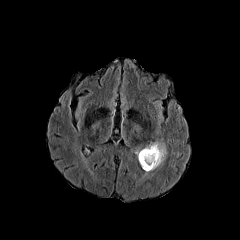
FLAIR MR.
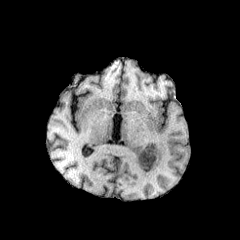
T1-weighted magnetic resonance.
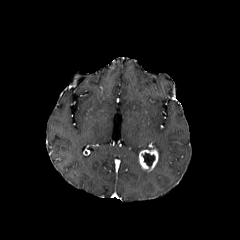
Post-contrast T1-weighted magnetic resonance.
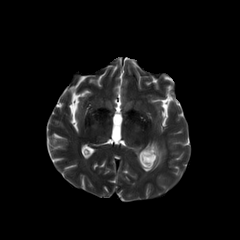
T2-weighted MRI of the same slice.
Axial plane. Image size 240x240.
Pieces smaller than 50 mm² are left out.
The largest enhancing tumor region is at [x1=139, y1=148, x2=158, y2=171]. The largest peritumoral edema region appears at [x1=151, y1=141, x2=166, y2=170]. The necrotic tumor core appears at [x1=141, y1=152, x2=155, y2=167].